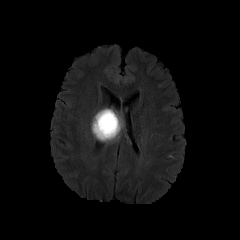
FLAIR MR image.
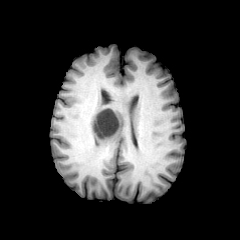
T1-weighted magnetic resonance of the same slice.
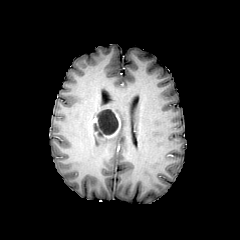
Post-contrast T1-weighted MRI of the same slice.
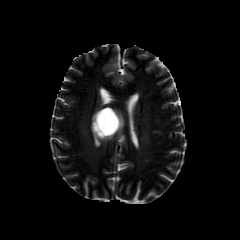
T2-weighted MR image.
240x240 px. Head.
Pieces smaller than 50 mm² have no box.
The peritumoral edema is at region(91, 108, 123, 142). The enhancing tumor lies within region(91, 111, 120, 138). The largest necrotic tumor core region is bounded by region(96, 109, 118, 134).